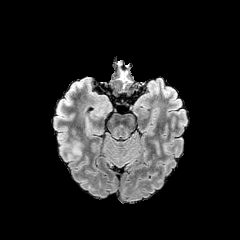
FLAIR MR.
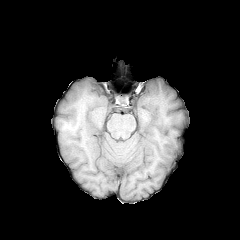
T1-weighted MR image.
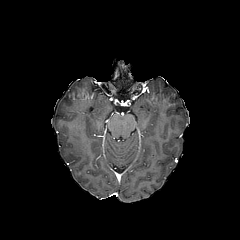
Post-contrast T1-weighted MRI of the same slice.
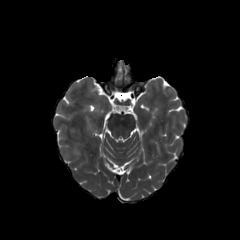
Same slice, T2-weighted magnetic resonance.
Brain, 240x240
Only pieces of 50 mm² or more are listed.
Annotated regions:
* peritumoral edema: 60 142 81 155